FLAIR MR image.
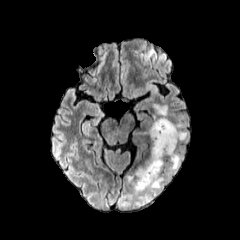
T1-weighted MR image.
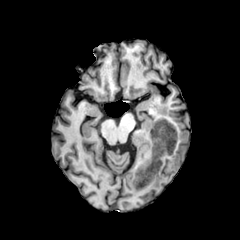
Post-contrast T1-weighted MRI.
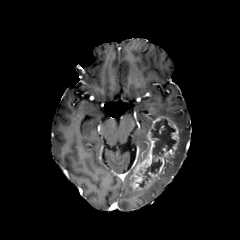
T2-weighted MR.
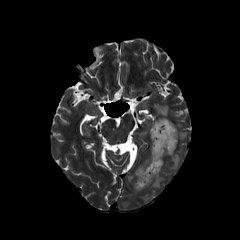
Axial plane | 240x240 px | Head
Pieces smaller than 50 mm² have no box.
Findings:
* peritumoral edema: l=169, t=149, r=181, b=172; l=176, t=123, r=188, b=141; l=134, t=176, r=163, b=193; l=154, t=104, r=167, b=117
* enhancing tumor: l=130, t=116, r=179, b=189
* necrotic tumor core: l=151, t=119, r=175, b=156; l=139, t=157, r=161, b=186